FLAIR magnetic resonance.
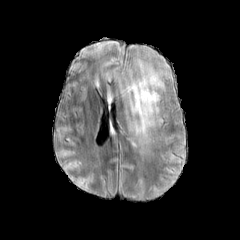
T1-weighted MR.
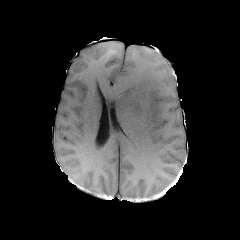
Post-contrast T1-weighted MRI.
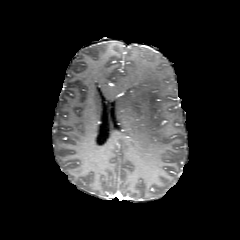
T2-weighted magnetic resonance.
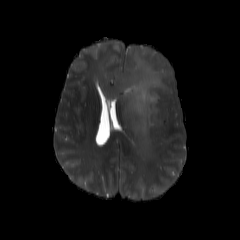
Head. Axial slice. 240x240.
{"peritumoral_edema": ["(116, 59, 171, 141)"]}